Slice index 65 | Head | Image size 240x240
FLAIR MRI.
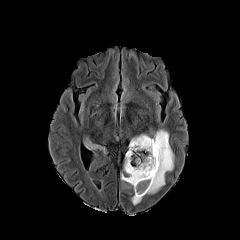
T1-weighted MR.
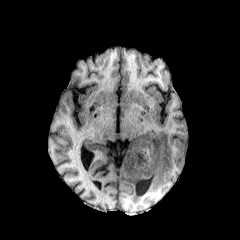
Post-contrast T1-weighted MRI.
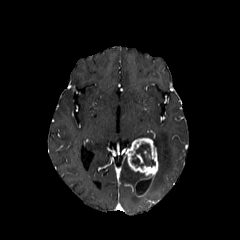
T2-weighted MRI.
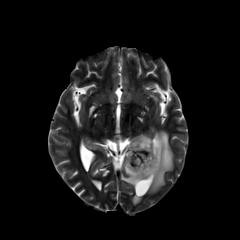
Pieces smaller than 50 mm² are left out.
necrotic_tumor_core:
  - bbox(136, 178, 151, 195)
  - bbox(131, 143, 155, 167)
peritumoral_edema:
  - bbox(147, 129, 173, 193)
  - bbox(121, 158, 147, 204)
  - bbox(85, 139, 103, 149)
enhancing_tumor:
  - bbox(126, 137, 158, 197)